Axial slice. Slice 82 of 155. Image width 240 mm.
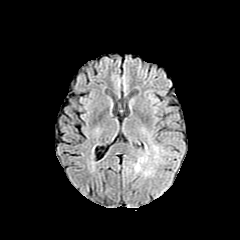
FLAIR MRI.
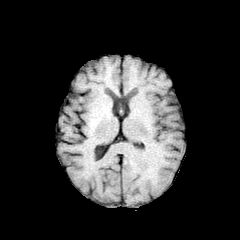
T1-weighted MR of the same slice.
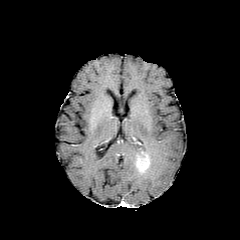
Same slice, post-contrast T1-weighted MRI.
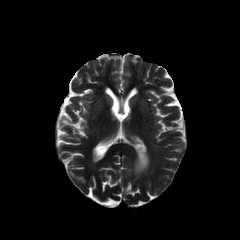
T2-weighted MR of the same slice.
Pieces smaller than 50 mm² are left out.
enhancing_tumor:
  - bbox=[136, 151, 149, 172]
peritumoral_edema:
  - bbox=[133, 159, 153, 175]